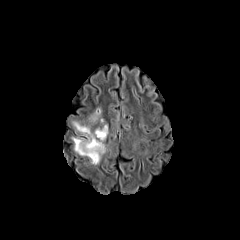
FLAIR MR.
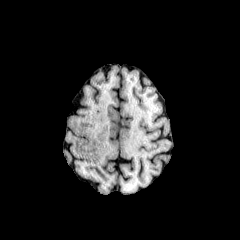
T1-weighted magnetic resonance of the same slice.
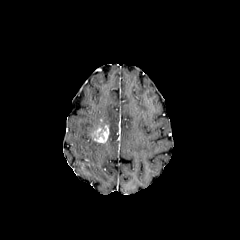
Post-contrast T1-weighted MRI.
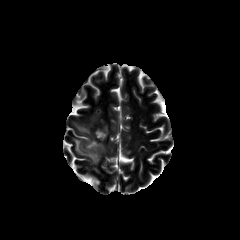
T2-weighted MR image.
Axial view.
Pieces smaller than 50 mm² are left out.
• peritumoral edema: box(72, 121, 106, 164); box(90, 108, 101, 122)
• enhancing tumor: box(90, 125, 109, 143)